240x240 px | Axial plane | Slice index 83
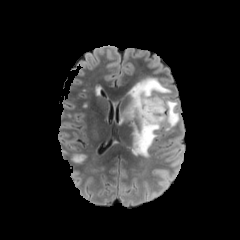
FLAIR MRI.
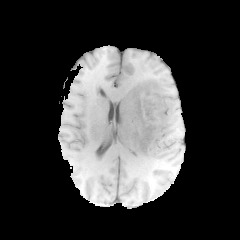
T1-weighted magnetic resonance of the same slice.
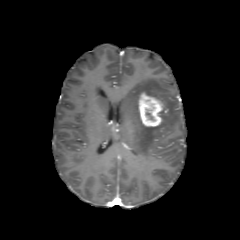
Post-contrast T1-weighted magnetic resonance of the same slice.
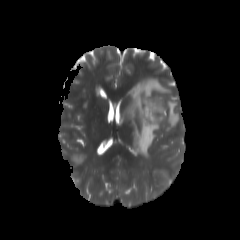
T2-weighted MR of the same slice.
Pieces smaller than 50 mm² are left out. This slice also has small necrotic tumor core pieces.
Findings:
• enhancing tumor: left=138, top=92, right=163, bottom=126
• peritumoral edema: left=124, top=77, right=179, bottom=157